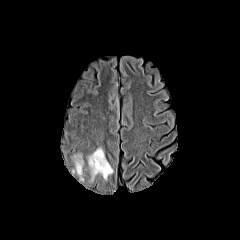
FLAIR MR image.
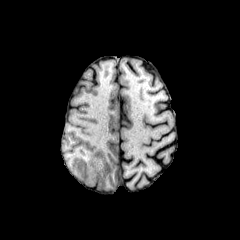
T1-weighted magnetic resonance.
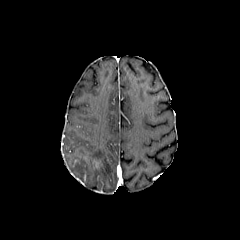
Post-contrast T1-weighted MR.
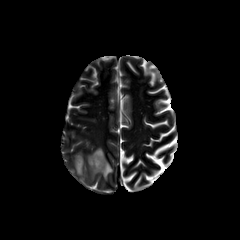
Same slice, T2-weighted MRI.
Image size 240x240; Head
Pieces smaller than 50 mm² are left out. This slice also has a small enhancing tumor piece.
<segmentation>
  <peritumoral_edema>88, 147, 113, 181; 74, 154, 83, 175</peritumoral_edema>
</segmentation>